FLAIR MR image.
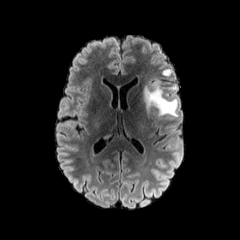
T1-weighted MR image.
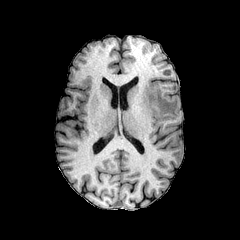
Post-contrast T1-weighted MR image.
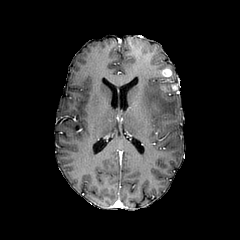
T2-weighted magnetic resonance.
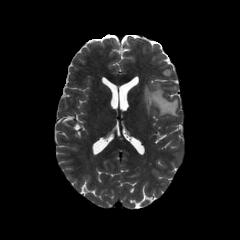
Axial plane | 240x240 px
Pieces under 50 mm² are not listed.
enhancing_tumor:
  - (x1=161, y1=68, x2=171, y2=77)
peritumoral_edema:
  - (x1=142, y1=81, x2=178, y2=119)